Image size 240x240 | Brain | Slice 37/155 | Axial plane
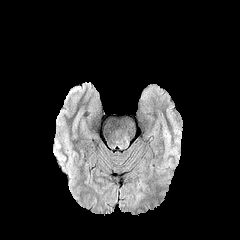
FLAIR MR image.
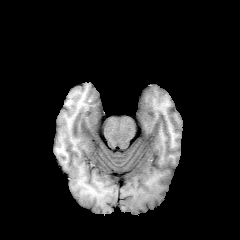
T1-weighted MRI.
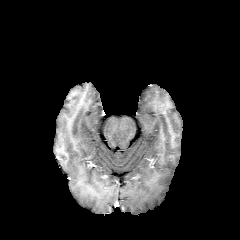
Post-contrast T1-weighted MRI.
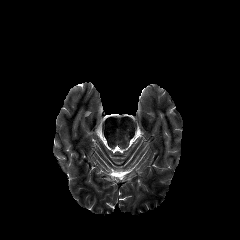
Same slice, T2-weighted MR image.
{"peritumoral_edema": ["x1=118, y1=136, x2=129, y2=148"]}